FLAIR MR image.
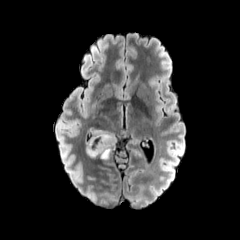
T1-weighted MRI.
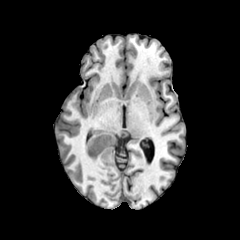
Post-contrast T1-weighted MR.
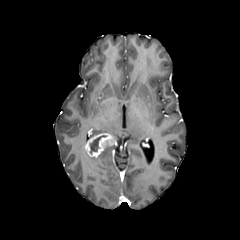
T2-weighted MRI.
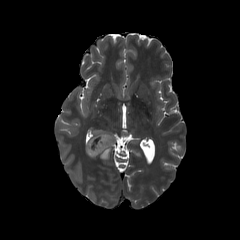
Head, Axial view
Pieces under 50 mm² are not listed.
The 2 largest peritumoral edema regions appear at region(99, 147, 113, 159); region(90, 127, 114, 136). The enhancing tumor lies within region(85, 132, 115, 157). The necrotic tumor core appears at region(90, 135, 105, 152).